FLAIR MRI.
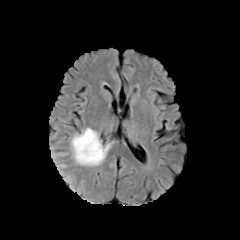
T1-weighted MR.
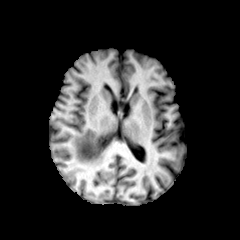
Post-contrast T1-weighted MRI.
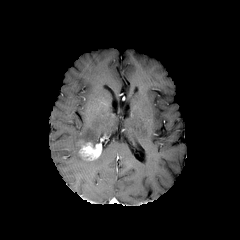
T2-weighted magnetic resonance.
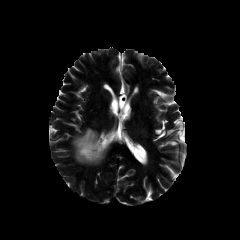
Head, Image size 240x240, Axial view
enhancing_tumor:
  - bbox(77, 141, 103, 160)
peritumoral_edema:
  - bbox(71, 128, 110, 165)